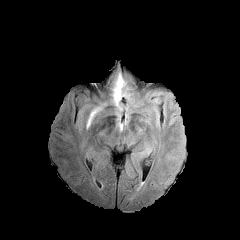
FLAIR MRI.
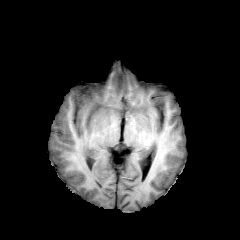
T1-weighted magnetic resonance.
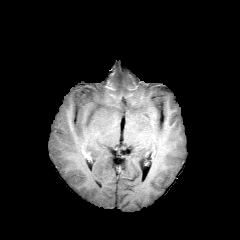
Same slice, post-contrast T1-weighted MR image.
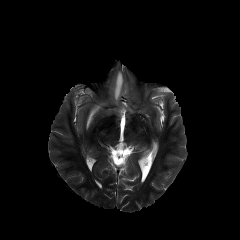
Same slice, T2-weighted MRI.
Brain | 240x240 px
2 peritumoral edema regions appear at l=113, t=72, r=126, b=109; l=87, t=107, r=100, b=126.